FLAIR magnetic resonance.
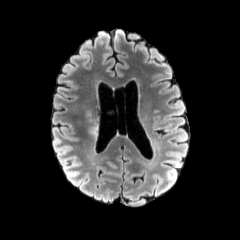
T1-weighted MRI.
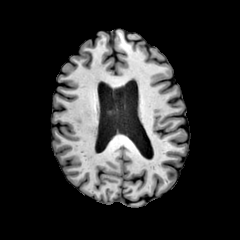
Post-contrast T1-weighted MR image.
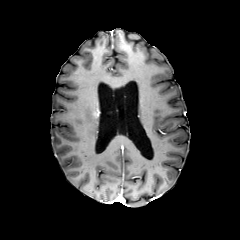
T2-weighted MR.
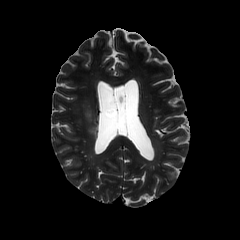
Head. 240x240.
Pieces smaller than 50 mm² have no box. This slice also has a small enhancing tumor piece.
peritumoral_edema:
  - [86, 111, 98, 137]